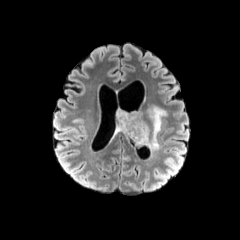
FLAIR MR.
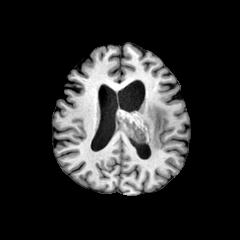
T1-weighted MR image of the same slice.
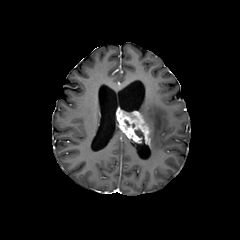
Same slice, post-contrast T1-weighted MR.
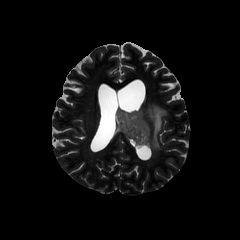
T2-weighted MR image of the same slice.
Head. 240x240 px.
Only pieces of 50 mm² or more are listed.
necrotic tumor core = bbox(135, 129, 144, 139)
peritumoral edema = bbox(148, 106, 166, 150)
enhancing tumor = bbox(116, 110, 150, 146)